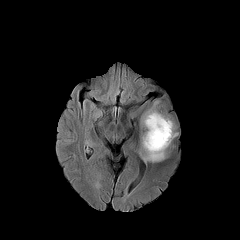
FLAIR MR image.
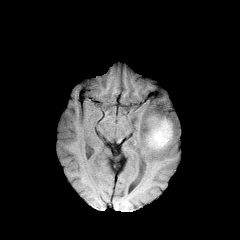
T1-weighted MR.
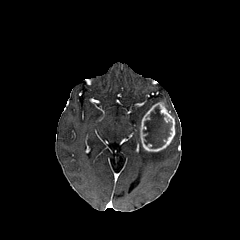
Post-contrast T1-weighted magnetic resonance.
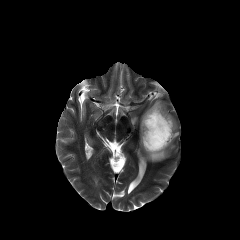
T2-weighted MR.
240x240 px.
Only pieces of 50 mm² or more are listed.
{
  "necrotic_tumor_core": [
    "box(143, 107, 171, 148)"
  ],
  "peritumoral_edema": [
    "box(142, 147, 166, 161)"
  ],
  "enhancing_tumor": [
    "box(140, 102, 175, 151)"
  ]
}